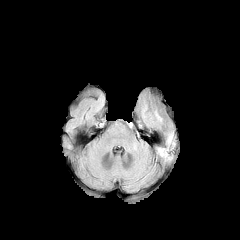
FLAIR MRI.
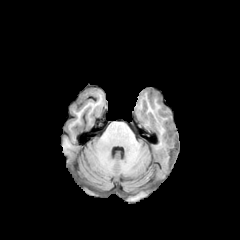
T1-weighted MR image.
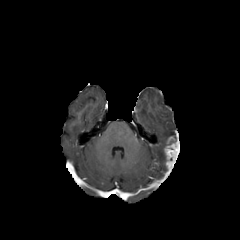
Post-contrast T1-weighted magnetic resonance of the same slice.
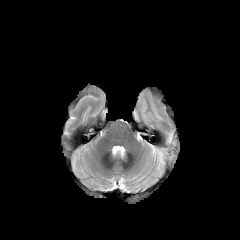
T2-weighted magnetic resonance.
240x240 | Axial slice
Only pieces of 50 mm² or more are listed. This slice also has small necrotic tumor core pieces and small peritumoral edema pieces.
Findings:
- enhancing tumor: bbox(164, 141, 179, 167)